FLAIR magnetic resonance.
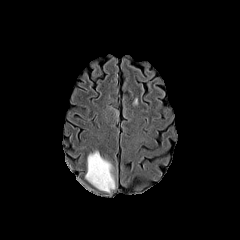
T1-weighted MR.
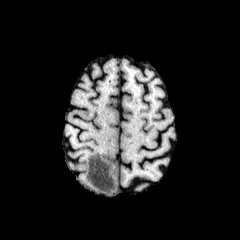
Post-contrast T1-weighted MR image.
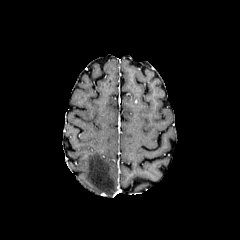
T2-weighted MRI.
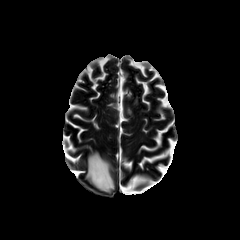
Axial slice
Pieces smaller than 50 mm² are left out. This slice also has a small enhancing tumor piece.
The 2 largest peritumoral edema regions appear at x1=85 y1=150 x2=115 y2=192, x1=109 y1=105 x2=118 y2=123.